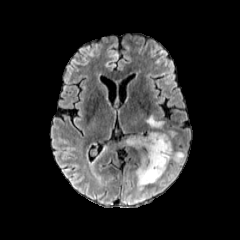
FLAIR magnetic resonance.
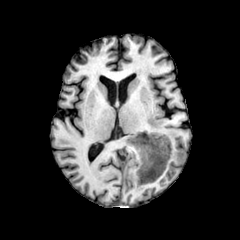
T1-weighted magnetic resonance.
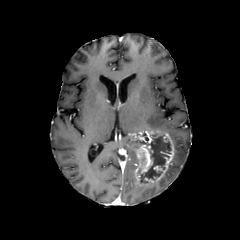
Post-contrast T1-weighted MR image.
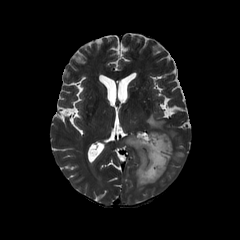
Same slice, T2-weighted MRI.
Axial view. Head.
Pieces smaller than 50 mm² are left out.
{"necrotic_tumor_core": ["<box>140,136,171,182</box>"], "enhancing_tumor": ["<box>133,130,174,185</box>"], "peritumoral_edema": ["<box>147,115,164,129</box>", "<box>173,150,185,163</box>", "<box>125,136,135,145</box>"]}